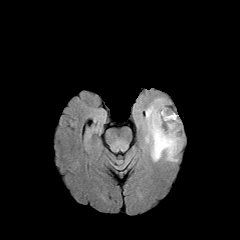
FLAIR magnetic resonance.
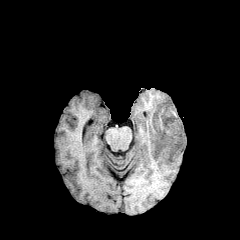
T1-weighted MR image.
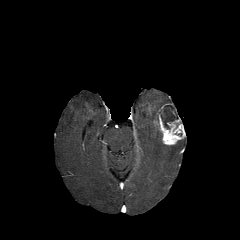
Post-contrast T1-weighted MR.
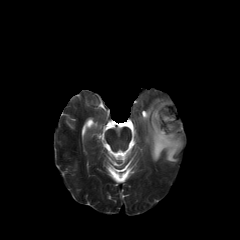
Same slice, T2-weighted MR.
Head
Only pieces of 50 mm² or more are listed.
The largest enhancing tumor region is located at box(153, 103, 185, 145). The peritumoral edema is located at box(143, 98, 183, 161). The largest necrotic tumor core region appears at box(161, 105, 178, 128).